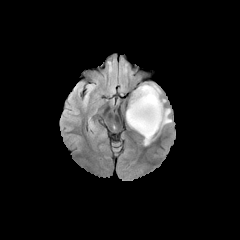
FLAIR magnetic resonance.
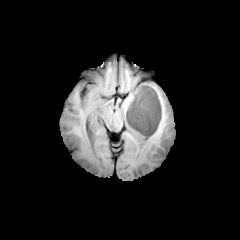
T1-weighted MRI.
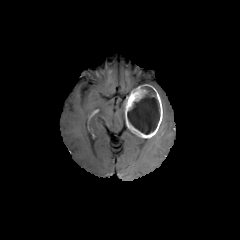
Post-contrast T1-weighted MR image.
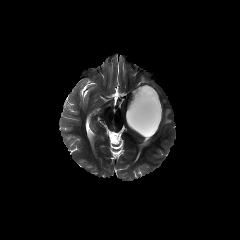
T2-weighted magnetic resonance.
Axial view. Brain. 240x240 px.
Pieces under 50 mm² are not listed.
enhancing tumor = <bbox>125, 84, 162, 138</bbox>
peritumoral edema = <bbox>159, 108, 171, 129</bbox>
necrotic tumor core = <bbox>127, 86, 159, 134</bbox>